Brain, 240x240, Slice index 94
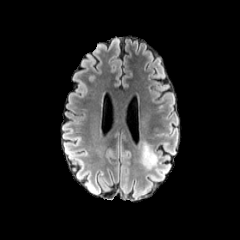
FLAIR magnetic resonance.
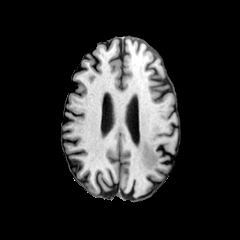
T1-weighted MR image.
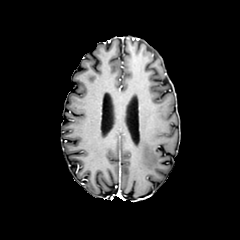
Same slice, post-contrast T1-weighted magnetic resonance.
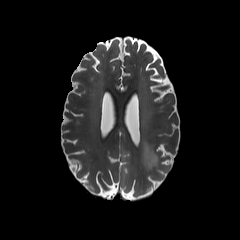
Same slice, T2-weighted MR image.
The peritumoral edema is at box(139, 141, 157, 169).